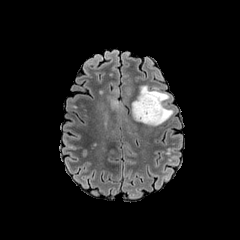
FLAIR MR image.
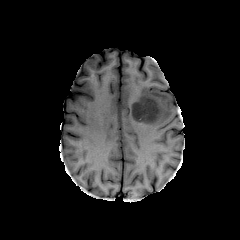
T1-weighted MR.
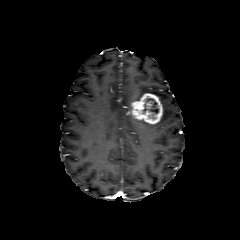
Post-contrast T1-weighted MRI of the same slice.
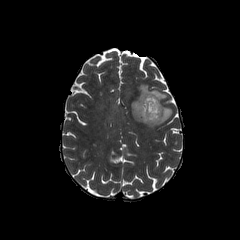
T2-weighted magnetic resonance of the same slice.
Brain
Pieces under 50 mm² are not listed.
enhancing tumor = {"x1": 131, "y1": 93, "x2": 163, "y2": 123}
peritumoral edema = {"x1": 135, "y1": 85, "x2": 168, "y2": 104}, {"x1": 137, "y1": 105, "x2": 173, "y2": 126}
necrotic tumor core = {"x1": 146, "y1": 98, "x2": 158, "y2": 113}